FLAIR magnetic resonance.
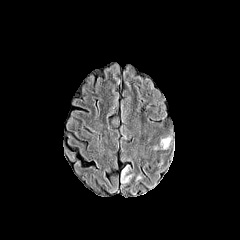
T1-weighted MRI.
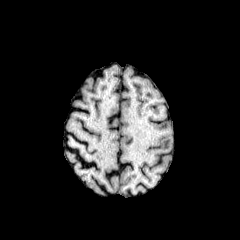
Post-contrast T1-weighted MR image.
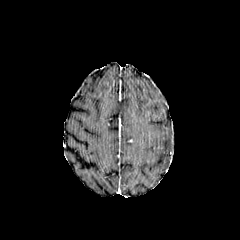
T2-weighted MRI.
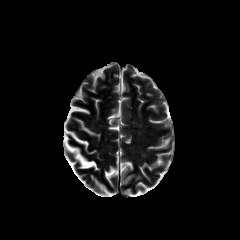
Brain
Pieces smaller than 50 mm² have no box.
The 2 largest peritumoral edema regions appear at [161,137,170,148], [121,165,131,183].